Slice 100 of 155, Brain, Axial view, Image covers 240 mm x 240 mm
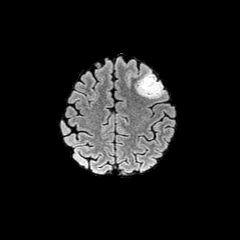
FLAIR MR.
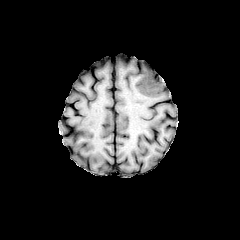
T1-weighted MR image of the same slice.
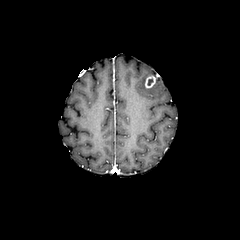
Post-contrast T1-weighted magnetic resonance.
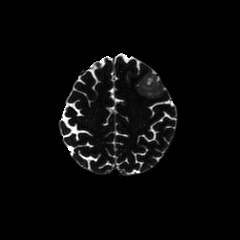
T2-weighted MR image.
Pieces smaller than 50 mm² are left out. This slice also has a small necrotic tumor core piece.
The peritumoral edema appears at left=136, top=71, right=164, bottom=98. The enhancing tumor lies within left=144, top=75, right=156, bottom=89.